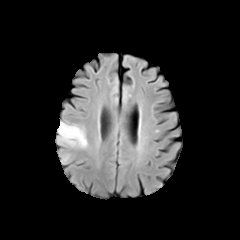
FLAIR MR image.
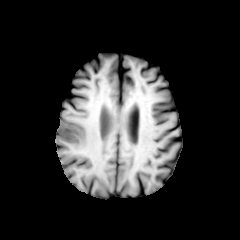
T1-weighted MR of the same slice.
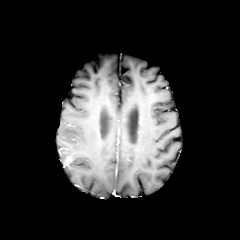
Post-contrast T1-weighted MRI.
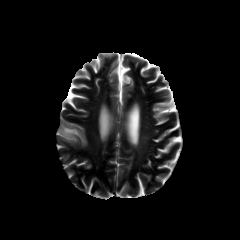
T2-weighted MR of the same slice.
Axial view, Image size 240x240, Head
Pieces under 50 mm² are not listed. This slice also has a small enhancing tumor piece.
2 peritumoral edema regions appear at rect(57, 121, 87, 148); rect(62, 154, 70, 164).